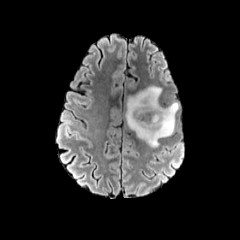
FLAIR magnetic resonance.
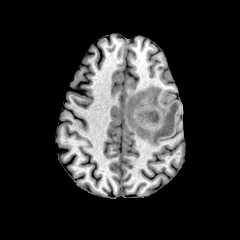
T1-weighted MR of the same slice.
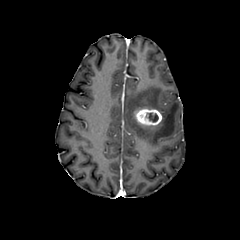
Post-contrast T1-weighted magnetic resonance.
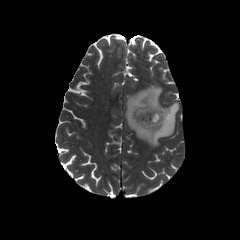
T2-weighted MR.
Axial slice, Brain, 240x240 px
necrotic tumor core: (x1=147, y1=113, x2=158, y2=121) | enhancing tumor: (x1=134, y1=108, x2=162, y2=126) | peritumoral edema: (x1=125, y1=85, x2=179, y2=147)